Axial slice
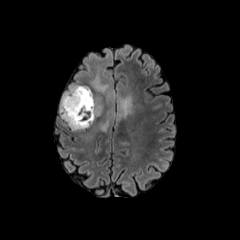
FLAIR MR.
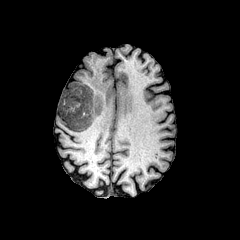
T1-weighted MR image.
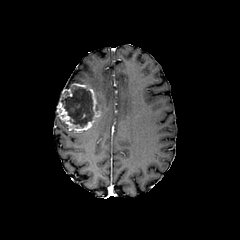
Post-contrast T1-weighted MR image.
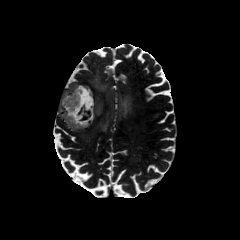
Same slice, T2-weighted MR image.
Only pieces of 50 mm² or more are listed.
necrotic tumor core — {"x1": 61, "y1": 86, "x2": 93, "y2": 127}
peritumoral edema — {"x1": 117, "y1": 94, "x2": 133, "y2": 119}, {"x1": 97, "y1": 96, "x2": 102, "y2": 110}, {"x1": 90, "y1": 57, "x2": 114, "y2": 131}
enhancing tumor — {"x1": 57, "y1": 83, "x2": 101, "y2": 131}